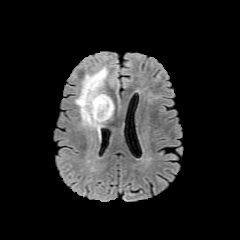
FLAIR MRI.
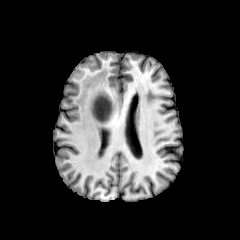
T1-weighted MRI.
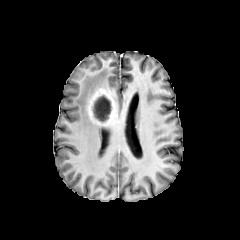
Same slice, post-contrast T1-weighted MR image.
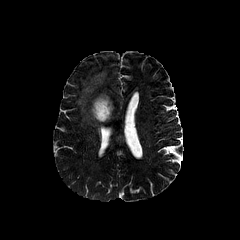
T2-weighted MR image of the same slice.
Axial slice
Annotated regions:
• necrotic tumor core: 93,95,111,121
• enhancing tumor: 87,88,115,125
• peritumoral edema: 75,67,107,136